FLAIR MR.
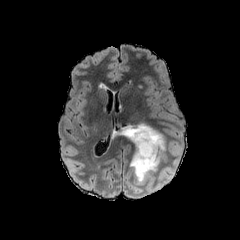
T1-weighted MR.
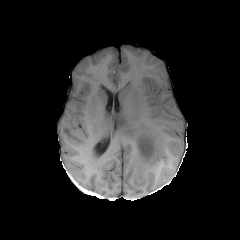
Post-contrast T1-weighted magnetic resonance.
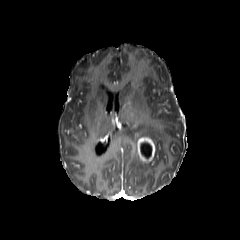
T2-weighted MR.
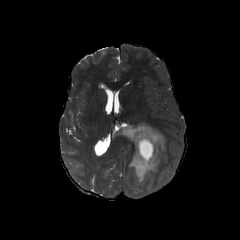
Axial view.
peritumoral edema: {"x1": 112, "y1": 123, "x2": 165, "y2": 183} | enhancing tumor: {"x1": 137, "y1": 136, "x2": 155, "y2": 162} | necrotic tumor core: {"x1": 140, "y1": 142, "x2": 152, "y2": 158}